Brain, Image width 240 mm
FLAIR MR image.
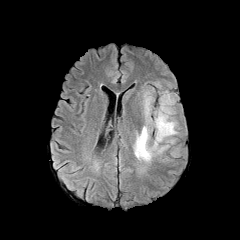
T1-weighted MRI.
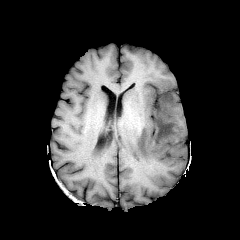
Post-contrast T1-weighted MR image.
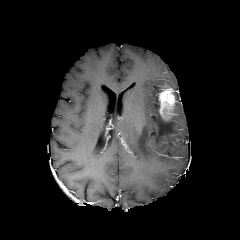
T2-weighted MRI.
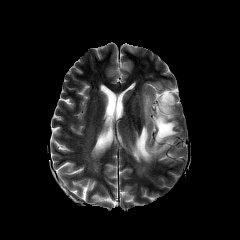
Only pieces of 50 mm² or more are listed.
peritumoral edema at 133:92:177:162
enhancing tumor at 159:87:176:120